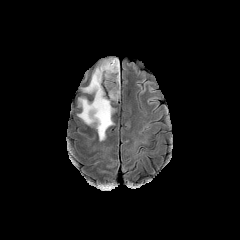
FLAIR MR image.
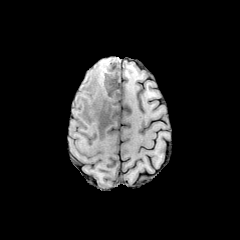
T1-weighted magnetic resonance of the same slice.
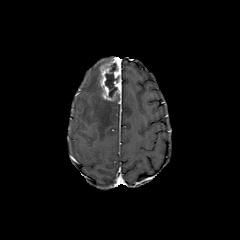
Same slice, post-contrast T1-weighted MR.
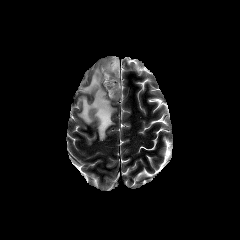
T2-weighted MRI.
Brain
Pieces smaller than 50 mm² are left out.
<segmentation>
  <peritumoral_edema>{"x1": 78, "y1": 58, "x2": 114, "y2": 140}</peritumoral_edema>
  <necrotic_tumor_core>{"x1": 105, "y1": 73, "x2": 118, "y2": 97}</necrotic_tumor_core>
  <enhancing_tumor>{"x1": 99, "y1": 57, "x2": 121, "y2": 100}</enhancing_tumor>
</segmentation>